Axial plane | Brain
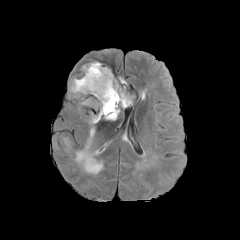
FLAIR MRI.
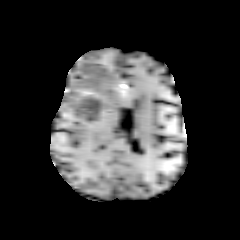
T1-weighted MRI.
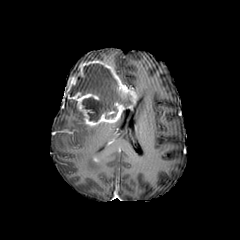
Post-contrast T1-weighted MRI of the same slice.
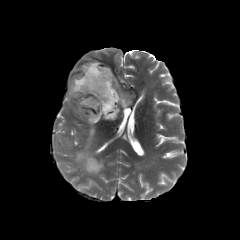
T2-weighted MRI of the same slice.
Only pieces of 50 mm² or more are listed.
- peritumoral edema: (73,126,103,173), (63,137,70,148)
- necrotic tumor core: (68,64,131,121)
- enhancing tumor: (67,60,136,126)